Slice index 76. Head. Image width 240 mm, 1.00 mm slice spacing. 240x240.
FLAIR magnetic resonance.
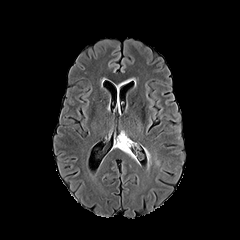
T1-weighted MR image.
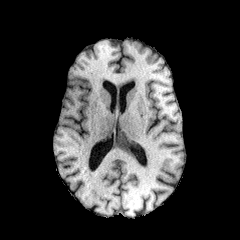
Post-contrast T1-weighted MR.
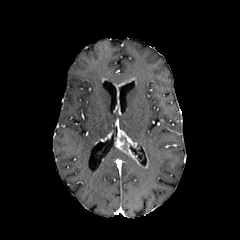
T2-weighted magnetic resonance.
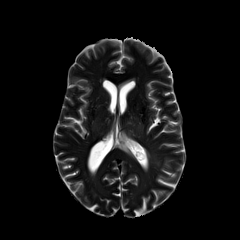
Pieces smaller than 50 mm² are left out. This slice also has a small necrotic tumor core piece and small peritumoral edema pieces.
The enhancing tumor is located at {"x1": 115, "y1": 131, "x2": 143, "y2": 158}.